FLAIR magnetic resonance.
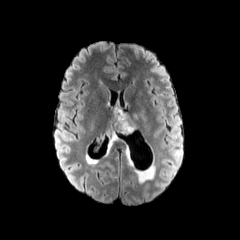
T1-weighted MR image.
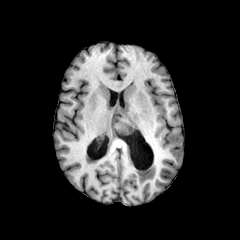
Post-contrast T1-weighted MR image.
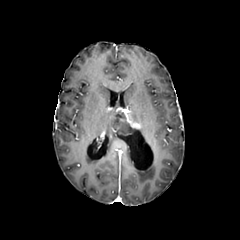
T2-weighted MR image.
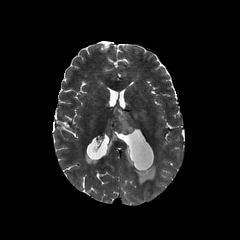
Axial view | Head | 240x240
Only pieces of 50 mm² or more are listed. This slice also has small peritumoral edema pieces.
The 2 largest enhancing tumor regions are located at bbox(112, 126, 132, 135); bbox(110, 107, 137, 128). The necrotic tumor core is located at bbox(113, 111, 133, 134).